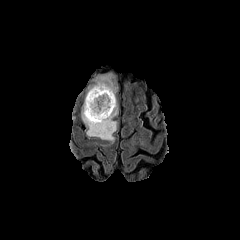
FLAIR MR.
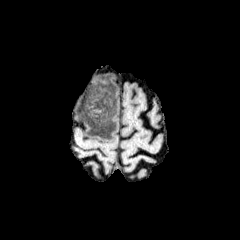
T1-weighted MR.
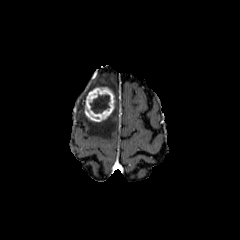
Post-contrast T1-weighted MR of the same slice.
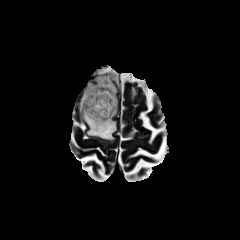
T2-weighted magnetic resonance.
Axial plane
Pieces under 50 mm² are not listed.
peritumoral edema: x1=81, y1=74, x2=118, y2=142
enhancing tumor: x1=84, y1=87, x2=115, y2=121
necrotic tumor core: x1=89, y1=94, x2=109, y2=113